FLAIR magnetic resonance.
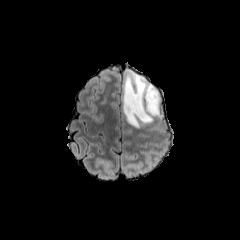
T1-weighted magnetic resonance.
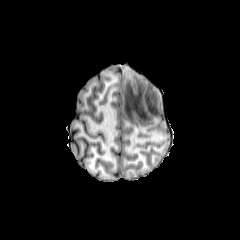
Post-contrast T1-weighted MR image.
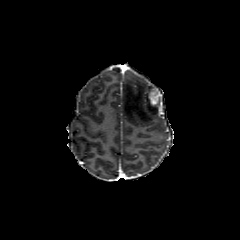
T2-weighted magnetic resonance.
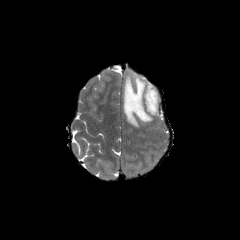
Image size 240x240; Axial plane
enhancing tumor: x1=148, y1=90, x2=159, y2=106 | peritumoral edema: x1=122, y1=71, x2=161, y2=127